Slice index 106. Image size 240x240. Head.
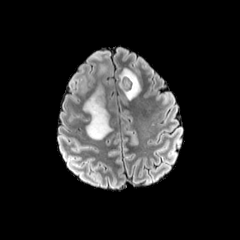
FLAIR magnetic resonance.
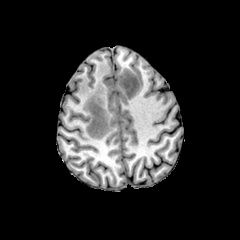
T1-weighted MRI of the same slice.
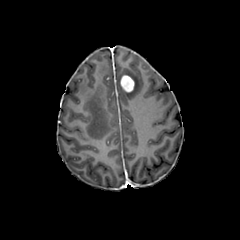
Same slice, post-contrast T1-weighted MR.
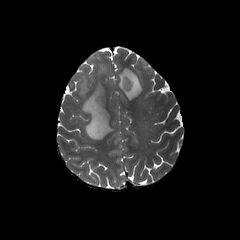
T2-weighted MR image.
The enhancing tumor appears at [x1=120, y1=75, x2=134, y2=92]. 3 peritumoral edema regions appear at [x1=79, y1=70, x2=88, y2=97], [x1=119, y1=66, x2=142, y2=99], [x1=83, y1=61, x2=113, y2=139]. The necrotic tumor core is bounded by [x1=123, y1=77, x2=132, y2=90].